Image width 240 mm, 1.00 mm slice spacing; Slice index 107; Head
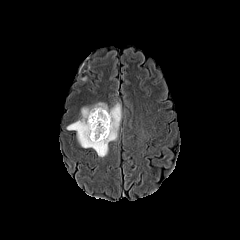
FLAIR MRI.
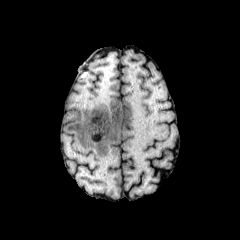
T1-weighted magnetic resonance of the same slice.
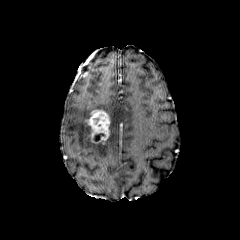
Same slice, post-contrast T1-weighted MRI.
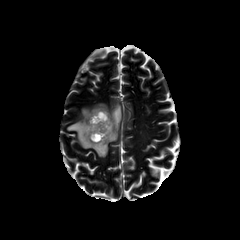
Same slice, T2-weighted magnetic resonance.
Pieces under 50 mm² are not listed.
Segmented structures:
- enhancing tumor: l=86, t=109, r=110, b=143
- peritumoral edema: l=67, t=102, r=121, b=157
- necrotic tumor core: l=94, t=133, r=105, b=141